Image size 240x240
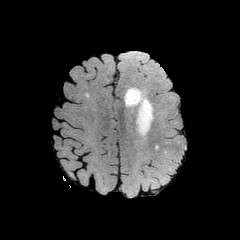
FLAIR MR image.
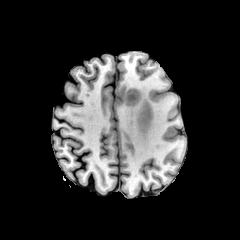
T1-weighted MR.
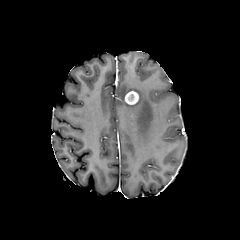
Post-contrast T1-weighted MR of the same slice.
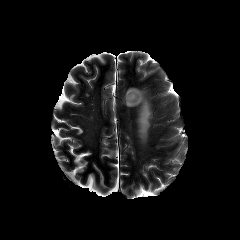
Same slice, T2-weighted magnetic resonance.
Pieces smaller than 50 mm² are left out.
peritumoral_edema:
  - rect(125, 87, 152, 140)
enhancing_tumor:
  - rect(125, 91, 138, 104)